FLAIR MR.
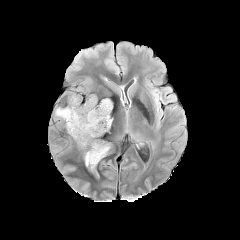
T1-weighted MR image.
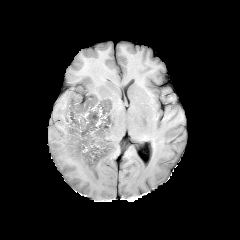
Post-contrast T1-weighted MR image.
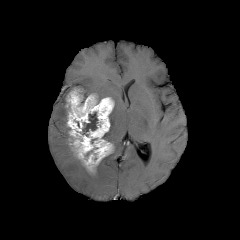
T2-weighted MRI.
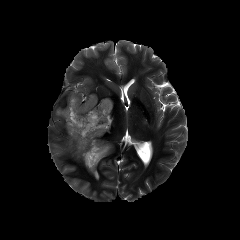
Axial slice
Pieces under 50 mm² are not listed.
The enhancing tumor is at l=66, t=89, r=113, b=173. The largest peritumoral edema region is bounded by l=55, t=107, r=66, b=121. The largest necrotic tumor core region lies within l=83, t=112, r=97, b=134.